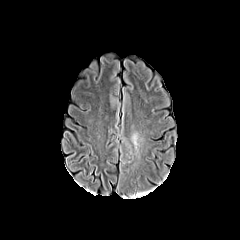
FLAIR magnetic resonance.
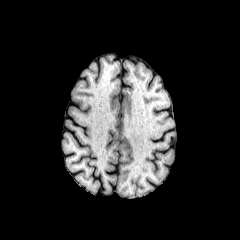
T1-weighted MRI.
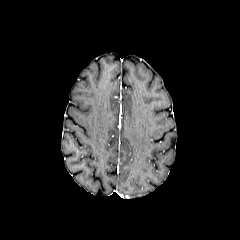
Same slice, post-contrast T1-weighted MRI.
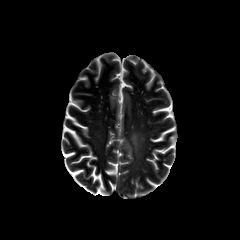
Same slice, T2-weighted MR image.
Axial view. Image size 240x240. Head.
peritumoral edema at x1=132 y1=134 x2=137 y2=145